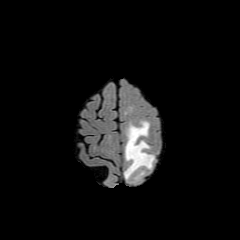
FLAIR MRI.
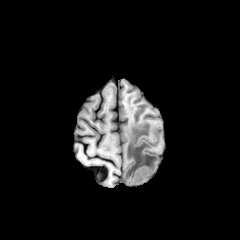
T1-weighted magnetic resonance.
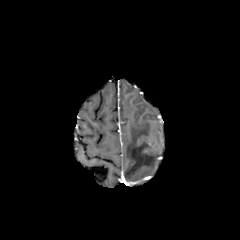
Post-contrast T1-weighted MRI.
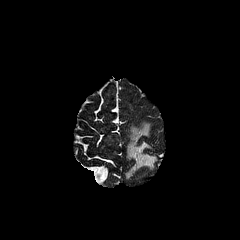
Same slice, T2-weighted MR image.
Image size 240x240; Axial slice
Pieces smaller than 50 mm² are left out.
• peritumoral edema: 125:122:154:178